FLAIR MR.
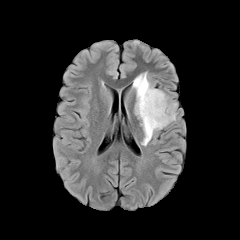
T1-weighted MRI.
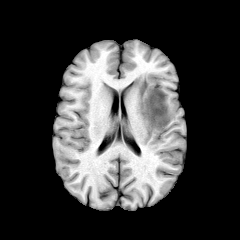
Post-contrast T1-weighted MR image.
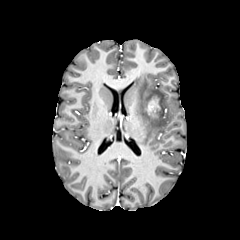
T2-weighted MR.
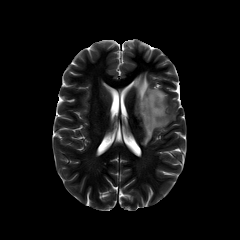
Axial view, Brain
enhancing_tumor:
  - bbox=[147, 98, 160, 118]
peritumoral_edema:
  - bbox=[133, 72, 176, 146]